Head. Image width 240 mm. Slice 51/155.
FLAIR MR image.
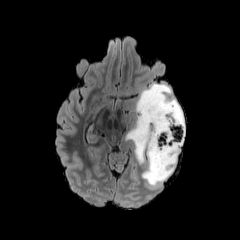
T1-weighted MRI.
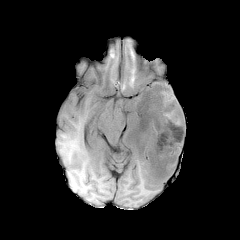
Post-contrast T1-weighted MRI.
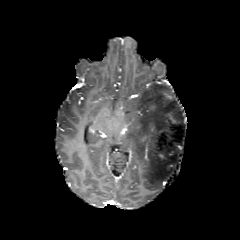
T2-weighted magnetic resonance.
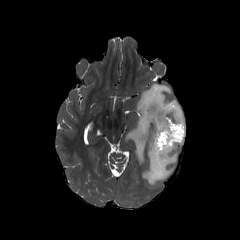
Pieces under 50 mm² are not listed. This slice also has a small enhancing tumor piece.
The peritumoral edema appears at l=126, t=83, r=185, b=186.